240x240, Axial plane
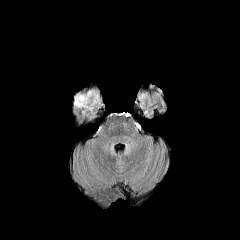
FLAIR magnetic resonance.
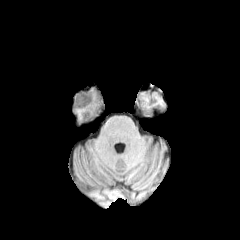
Same slice, T1-weighted magnetic resonance.
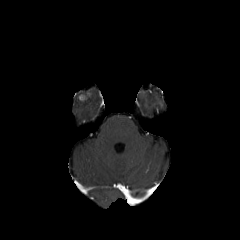
Same slice, post-contrast T1-weighted MR image.
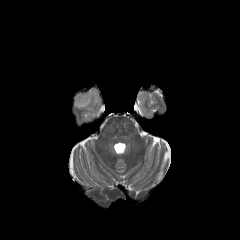
T2-weighted MR of the same slice.
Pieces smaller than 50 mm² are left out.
enhancing tumor — rect(78, 91, 91, 100)
peritumoral edema — rect(72, 87, 100, 107)